Slice 86/155
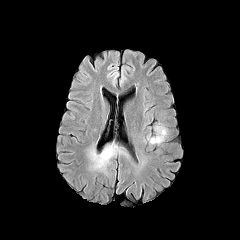
FLAIR MRI.
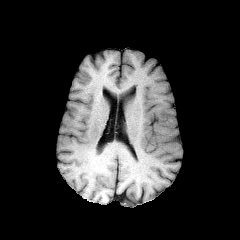
T1-weighted MR image.
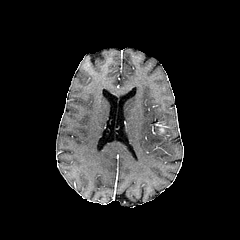
Same slice, post-contrast T1-weighted MR image.
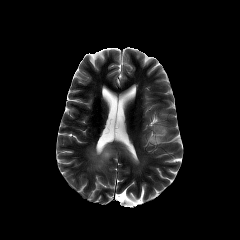
T2-weighted magnetic resonance.
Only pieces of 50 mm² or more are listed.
enhancing tumor = rect(157, 124, 165, 134)
peritumoral edema = rect(96, 148, 113, 168); rect(147, 125, 167, 144)